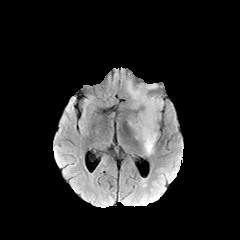
FLAIR MRI.
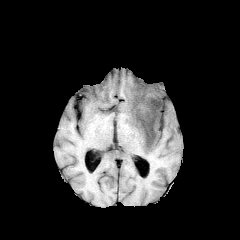
T1-weighted MR image.
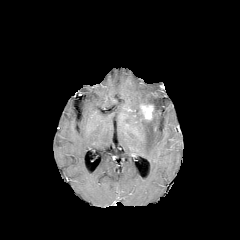
Post-contrast T1-weighted magnetic resonance.
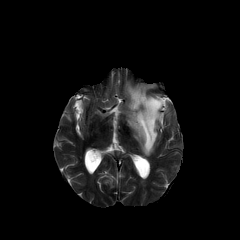
T2-weighted MR.
240x240
The peritumoral edema lies within region(127, 82, 163, 155). The enhancing tumor lies within region(141, 104, 154, 120).